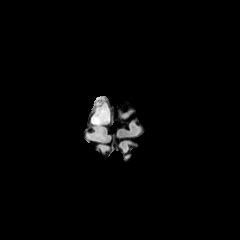
FLAIR MR.
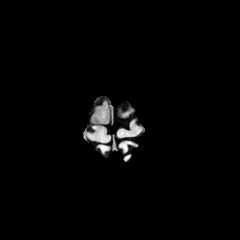
T1-weighted magnetic resonance.
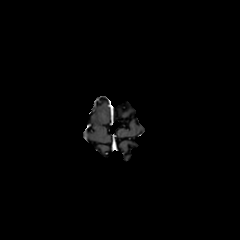
Post-contrast T1-weighted MR of the same slice.
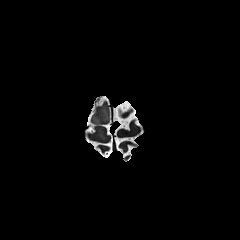
T2-weighted MR image.
Axial view
Segmented structures:
- peritumoral edema: 92,107,108,124